Slice 95 of 155; Image width 240 mm, 1.00 mm slice spacing; Brain
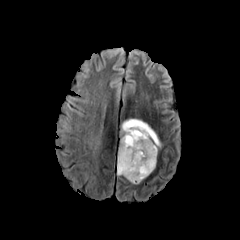
FLAIR MR image.
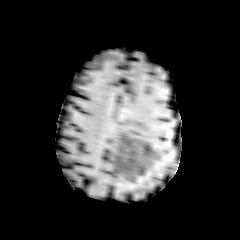
T1-weighted magnetic resonance.
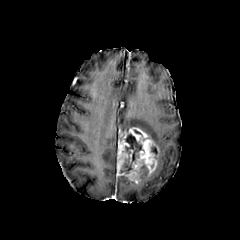
Post-contrast T1-weighted magnetic resonance.
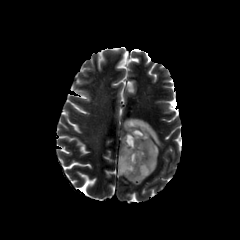
T2-weighted MR.
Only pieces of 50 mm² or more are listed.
The largest peritumoral edema region is bounded by [121, 119, 162, 148]. The 2 largest necrotic tumor core regions are located at [125, 134, 141, 161], [120, 159, 132, 173]. The enhancing tumor lies within [117, 127, 159, 183].